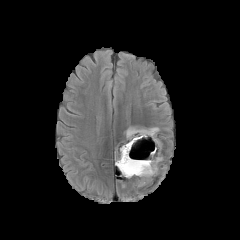
FLAIR MRI.
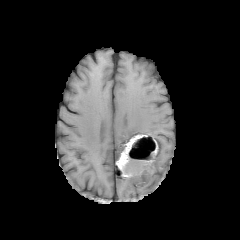
T1-weighted MR image of the same slice.
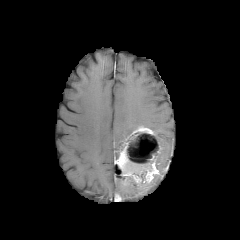
Same slice, post-contrast T1-weighted magnetic resonance.
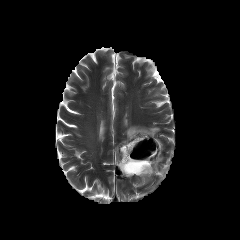
T2-weighted MRI of the same slice.
Head.
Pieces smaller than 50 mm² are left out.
<segmentation>
  <peritumoral_edema>box(156, 153, 162, 168); box(126, 127, 137, 138)</peritumoral_edema>
  <necrotic_tumor_core>box(126, 132, 160, 175)</necrotic_tumor_core>
  <enhancing_tumor>box(115, 126, 158, 186)</enhancing_tumor>
</segmentation>